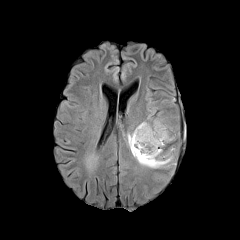
FLAIR MRI.
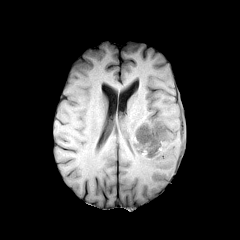
T1-weighted MR image.
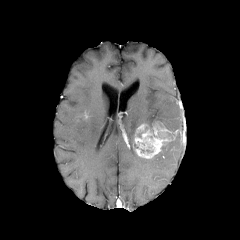
Post-contrast T1-weighted magnetic resonance.
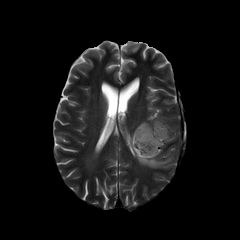
T2-weighted MR.
Axial plane, Brain
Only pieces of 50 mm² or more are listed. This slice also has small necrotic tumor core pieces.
peritumoral edema = (left=127, top=128, right=174, bottom=168)
enhancing tumor = (left=135, top=122, right=168, bottom=158)